FLAIR magnetic resonance.
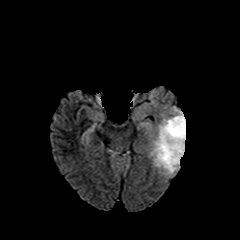
T1-weighted MR.
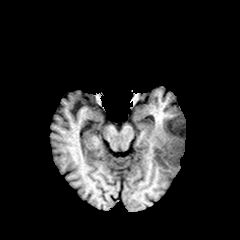
Post-contrast T1-weighted MR image.
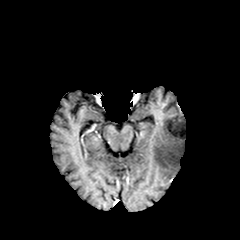
T2-weighted MR image.
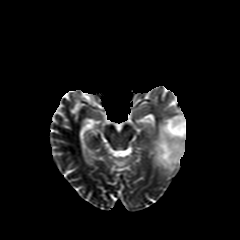
Head, Axial view
peritumoral edema at box=[150, 106, 185, 174]